Image size 240x240.
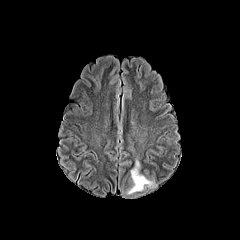
FLAIR MR image.
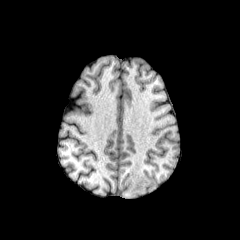
T1-weighted MR image of the same slice.
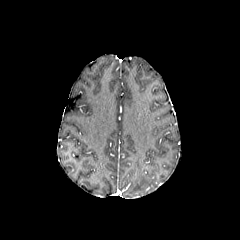
Same slice, post-contrast T1-weighted MRI.
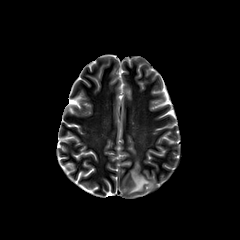
T2-weighted MR image.
The peritumoral edema is at <box>127,160,154,194</box>.